Slice 51/155 | 240x240
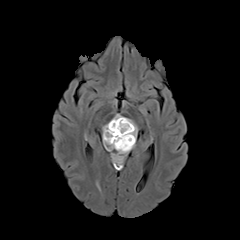
FLAIR magnetic resonance.
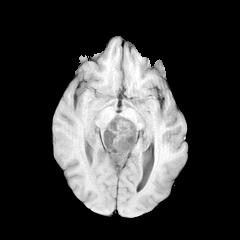
Same slice, T1-weighted MRI.
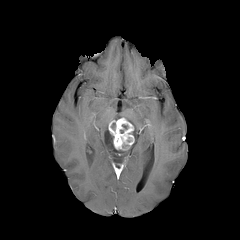
Same slice, post-contrast T1-weighted MR image.
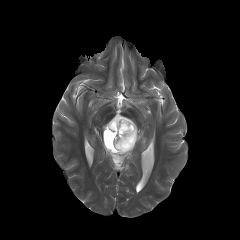
Same slice, T2-weighted MR image.
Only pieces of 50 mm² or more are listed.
* necrotic tumor core: rect(105, 129, 114, 147)
* enhancing tumor: rect(107, 117, 134, 150)
* peritumoral edema: rect(102, 118, 137, 168)